Axial view, Head, Image width 240 mm, Slice index 93
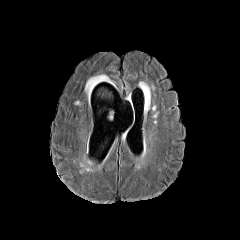
FLAIR MR.
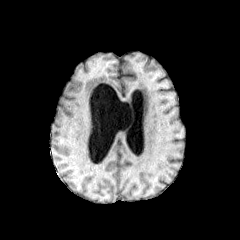
T1-weighted MR image of the same slice.
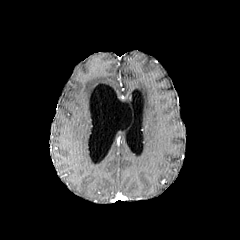
Post-contrast T1-weighted MRI.
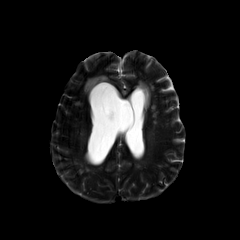
Same slice, T2-weighted MRI.
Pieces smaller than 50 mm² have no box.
• peritumoral edema: (85, 75, 113, 98)